240x240, Brain, Axial slice
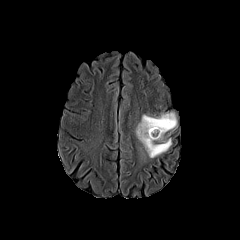
FLAIR MR.
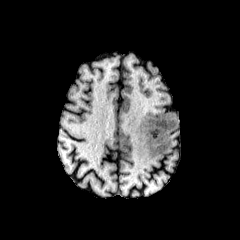
T1-weighted magnetic resonance.
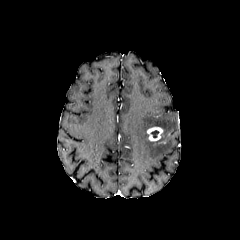
Same slice, post-contrast T1-weighted magnetic resonance.
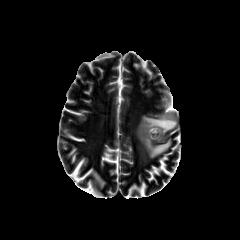
T2-weighted MRI of the same slice.
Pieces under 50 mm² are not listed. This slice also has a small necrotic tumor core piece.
enhancing tumor — <bbox>147, 127, 163, 141</bbox>
peritumoral edema — <bbox>136, 112, 177, 157</bbox>